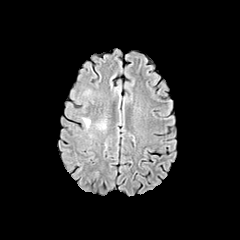
FLAIR MR image.
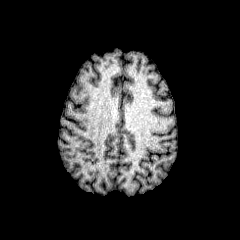
Same slice, T1-weighted MR image.
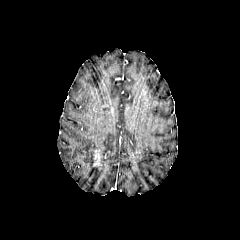
Post-contrast T1-weighted MRI of the same slice.
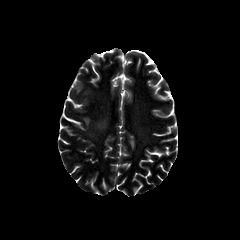
T2-weighted MR image.
Brain
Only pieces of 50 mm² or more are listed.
The 2 largest peritumoral edema regions are located at <box>82,117,90,127</box>, <box>96,119,106,129</box>.